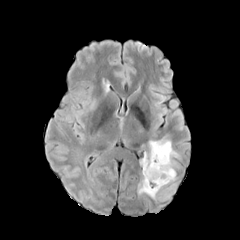
FLAIR MR image.
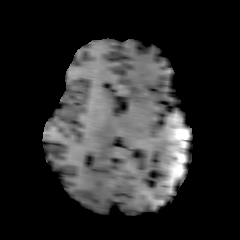
T1-weighted MR.
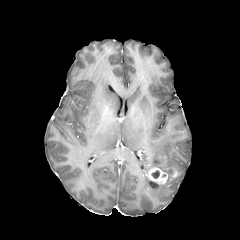
Post-contrast T1-weighted MRI.
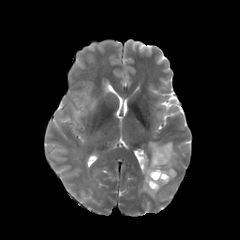
T2-weighted MRI.
Image size 240x240. Head. Axial view.
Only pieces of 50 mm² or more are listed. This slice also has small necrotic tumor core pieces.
Segmented structures:
- peritumoral edema: l=86, t=100, r=95, b=109; l=138, t=136, r=179, b=198
- enhancing tumor: l=147, t=167, r=167, b=183